Brain, Image width 240 mm, Axial view
FLAIR magnetic resonance.
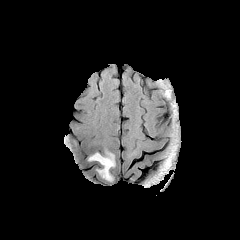
T1-weighted MR.
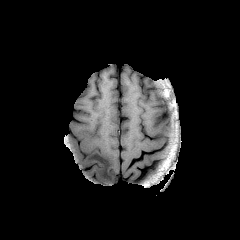
Post-contrast T1-weighted MRI.
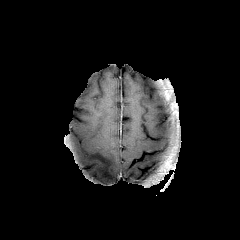
T2-weighted MRI.
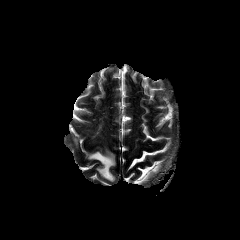
<segmentation>
  <peritumoral_edema>x1=88 y1=150 x2=115 y2=181</peritumoral_edema>
</segmentation>